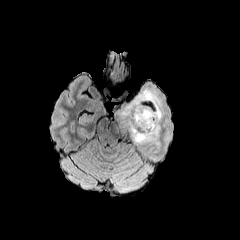
FLAIR MR image.
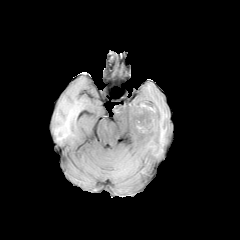
Same slice, T1-weighted MR.
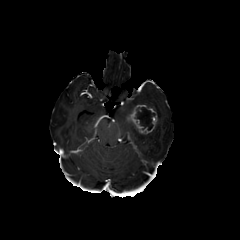
Post-contrast T1-weighted MR.
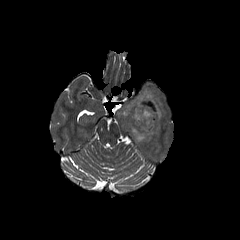
Same slice, T2-weighted MR image.
240x240. Brain. Axial slice.
The peritumoral edema appears at left=121, top=89, right=162, bottom=143. The enhancing tumor lies within left=126, top=104, right=157, bottom=134. The necrotic tumor core is located at left=136, top=107, right=155, bottom=130.